Brain, Image covers 240 mm x 240 mm
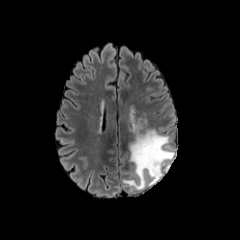
FLAIR MRI.
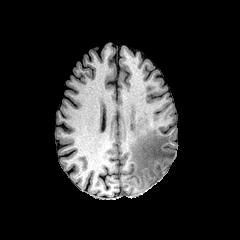
Same slice, T1-weighted MR image.
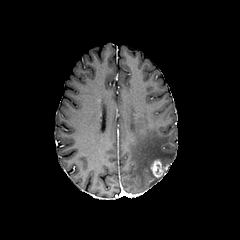
Post-contrast T1-weighted MR image.
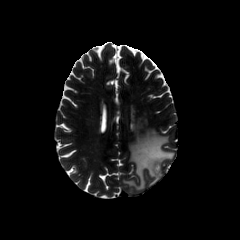
Same slice, T2-weighted MR.
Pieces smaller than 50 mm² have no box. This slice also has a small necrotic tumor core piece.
The enhancing tumor is bounded by box(150, 159, 167, 177). The peritumoral edema lies within box(123, 118, 174, 189).